FLAIR MR image.
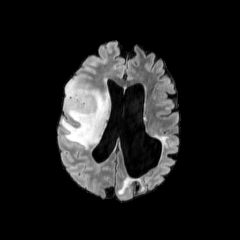
T1-weighted MRI.
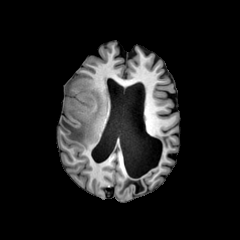
Post-contrast T1-weighted magnetic resonance.
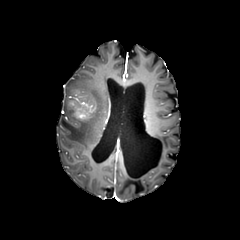
T2-weighted MR image.
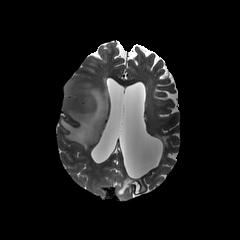
Brain
peritumoral edema at {"x1": 60, "y1": 78, "x2": 109, "y2": 148}
enhancing tumor at {"x1": 69, "y1": 93, "x2": 92, "y2": 119}